FLAIR magnetic resonance.
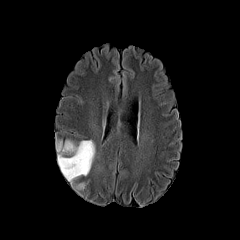
T1-weighted MRI.
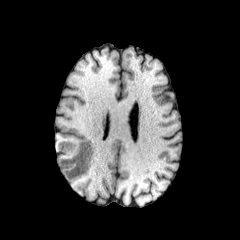
Post-contrast T1-weighted magnetic resonance.
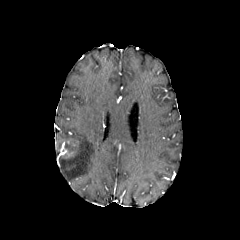
T2-weighted magnetic resonance.
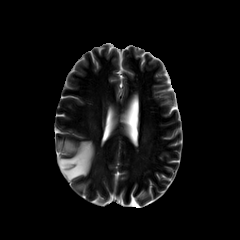
Head, 240x240, Axial view
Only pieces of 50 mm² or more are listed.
The largest peritumoral edema region is located at 58 140 95 183.